FLAIR magnetic resonance.
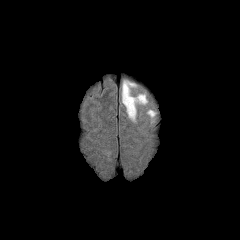
T1-weighted MRI.
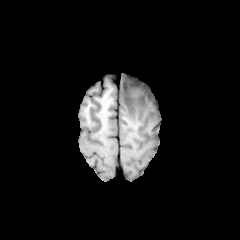
Post-contrast T1-weighted magnetic resonance.
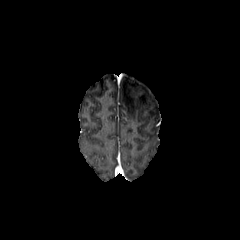
T2-weighted MR image.
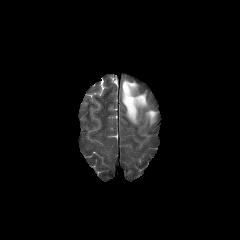
Brain, Axial slice
<segmentation>
  <peritumoral_edema><bbox>147, 110, 156, 122</bbox>, <bbox>122, 80, 147, 122</bbox></peritumoral_edema>
</segmentation>